FLAIR MRI.
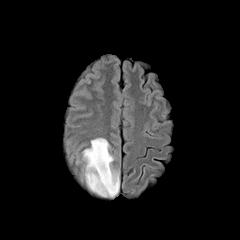
T1-weighted magnetic resonance.
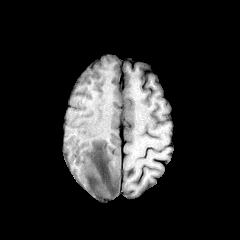
Post-contrast T1-weighted MRI.
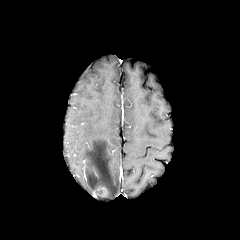
T2-weighted MR image.
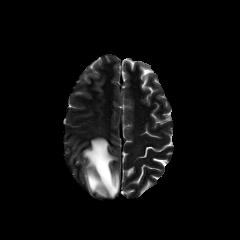
Head
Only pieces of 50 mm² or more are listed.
• enhancing tumor: <box>94,186,108,196</box>
• peritumoral edema: <box>82,138,119,197</box>